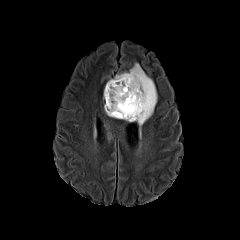
FLAIR MR image.
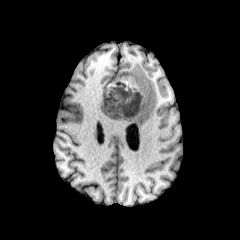
Same slice, T1-weighted MR image.
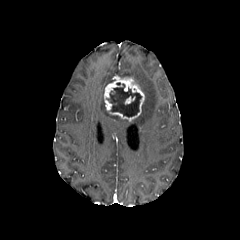
Post-contrast T1-weighted MR image of the same slice.
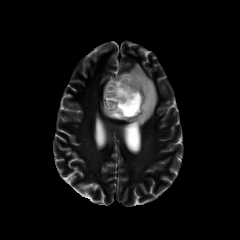
T2-weighted magnetic resonance.
Axial slice. 240x240 px.
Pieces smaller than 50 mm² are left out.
<segmentation>
  <enhancing_tumor><bbox>104, 75, 144, 120</bbox>, <bbox>124, 96, 135, 104</bbox></enhancing_tumor>
  <peritumoral_edema><bbox>117, 63, 157, 126</bbox></peritumoral_edema>
  <necrotic_tumor_core><bbox>106, 83, 141, 117</bbox></necrotic_tumor_core>
</segmentation>